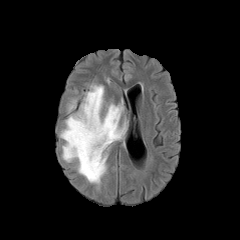
FLAIR MR.
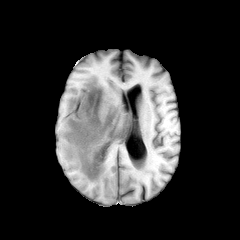
T1-weighted MR image.
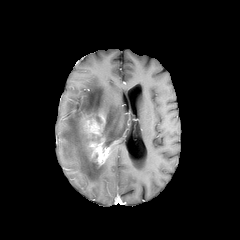
Same slice, post-contrast T1-weighted MRI.
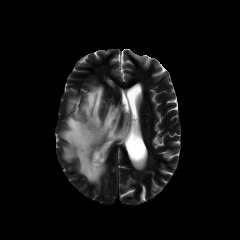
T2-weighted MR image of the same slice.
Brain, Axial view
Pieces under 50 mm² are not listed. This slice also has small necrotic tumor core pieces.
peritumoral edema: 68, 100, 76, 111; 60, 85, 126, 184
enhancing tumor: 85, 138, 109, 165; 81, 113, 105, 139